FLAIR MRI.
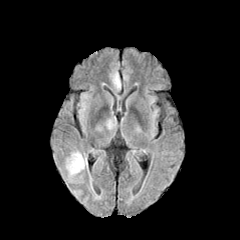
T1-weighted magnetic resonance.
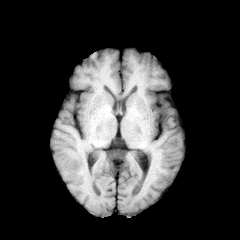
Post-contrast T1-weighted MR image.
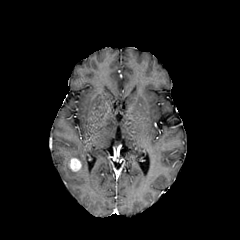
T2-weighted MR image.
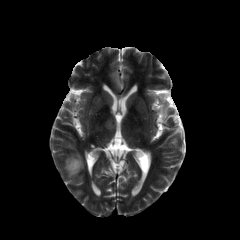
240x240 px
{"enhancing_tumor": ["69:158:81:171"], "peritumoral_edema": ["65:151:84:181", "114:73:120:87"]}